Axial plane; Slice index 72; Head
FLAIR MR image.
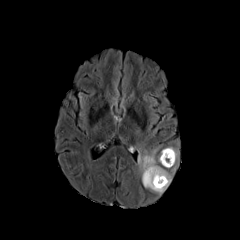
T1-weighted magnetic resonance.
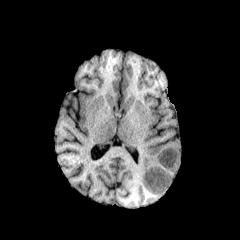
Post-contrast T1-weighted MRI.
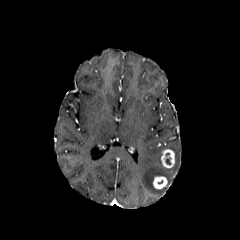
T2-weighted magnetic resonance.
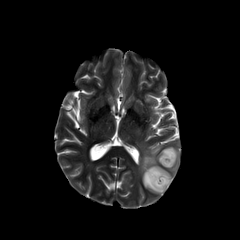
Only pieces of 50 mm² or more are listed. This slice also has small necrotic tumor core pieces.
enhancing tumor: 160:149:175:168, 153:176:167:189
peritumoral edema: 138:146:179:195